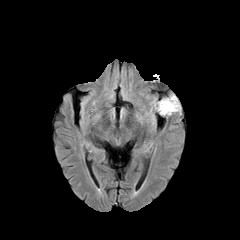
FLAIR MR image.
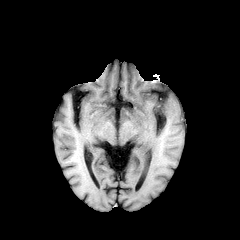
T1-weighted MRI.
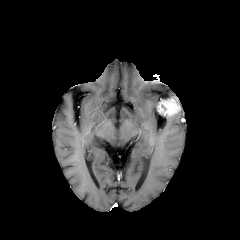
Same slice, post-contrast T1-weighted magnetic resonance.
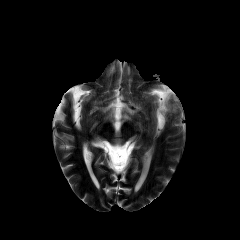
T2-weighted MRI.
Head
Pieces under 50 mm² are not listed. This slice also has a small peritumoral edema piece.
enhancing_tumor:
  - 157 96 180 116